FLAIR MR image.
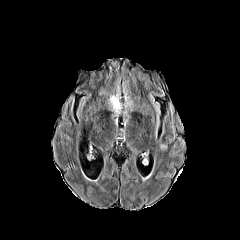
T1-weighted MRI.
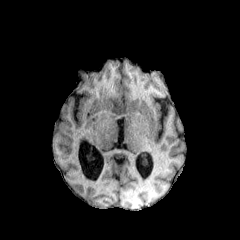
Post-contrast T1-weighted MRI.
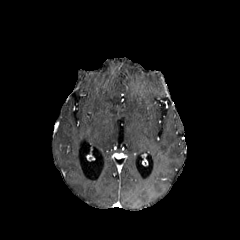
T2-weighted magnetic resonance.
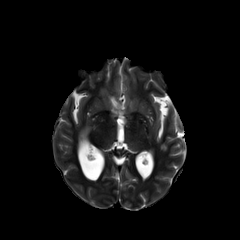
Axial slice | Brain
The peritumoral edema appears at region(110, 95, 121, 114).